Axial slice | Slice index 115
FLAIR MR image.
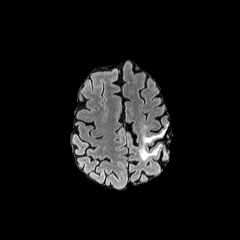
T1-weighted MR.
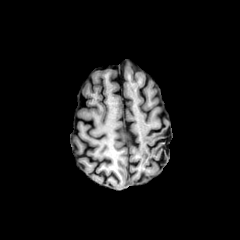
Post-contrast T1-weighted MR.
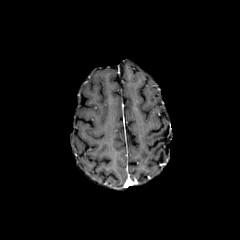
T2-weighted MR.
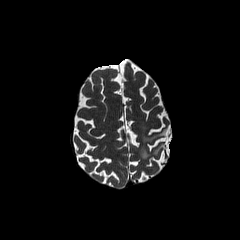
peritumoral_edema:
  - box(139, 129, 165, 160)